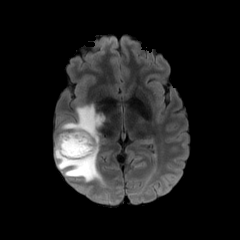
FLAIR MR image.
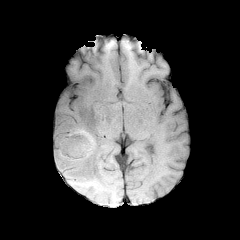
T1-weighted MR of the same slice.
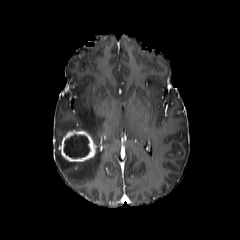
Same slice, post-contrast T1-weighted MR image.
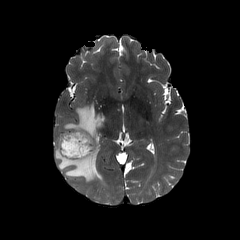
T2-weighted MRI.
Axial plane.
peritumoral edema: bounding box bbox(54, 104, 104, 182)
necrotic tumor core: bounding box bbox(64, 134, 89, 158)
enhancing tumor: bounding box bbox(59, 130, 97, 162)